Slice 58/155.
FLAIR magnetic resonance.
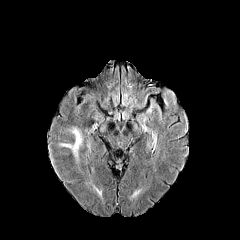
T1-weighted MR image.
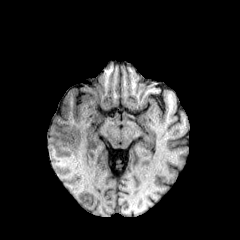
Post-contrast T1-weighted magnetic resonance.
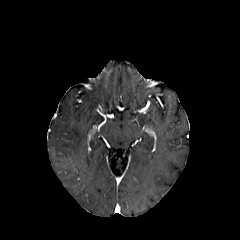
T2-weighted MR.
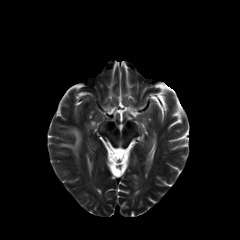
<segmentation>
  <peritumoral_edema>[61,128,81,156]</peritumoral_edema>
</segmentation>